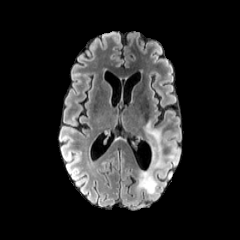
FLAIR MRI.
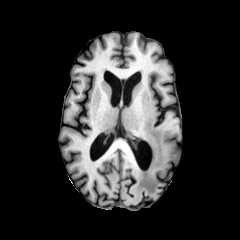
Same slice, T1-weighted MR.
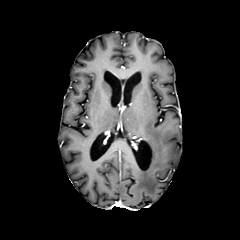
Same slice, post-contrast T1-weighted MR.
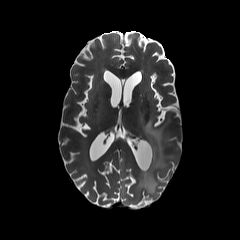
T2-weighted MRI.
Axial slice
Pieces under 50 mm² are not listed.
The largest peritumoral edema region is bounded by 138 121 163 194.